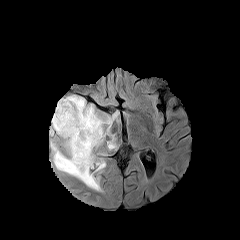
FLAIR MR image.
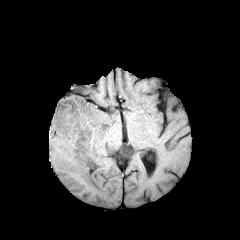
T1-weighted MRI of the same slice.
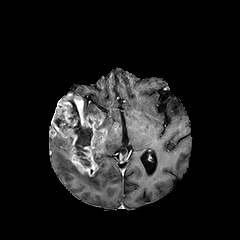
Post-contrast T1-weighted MR.
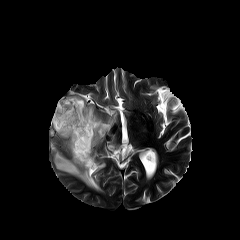
T2-weighted MR image.
Axial plane
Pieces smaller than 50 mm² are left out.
peritumoral edema: x1=82 y1=97 x2=101 y2=118, x1=97 y1=113 x2=117 y2=150, x1=94 y1=152 x2=105 y2=170, x1=50 y1=141 x2=102 y2=191 | necrotic tumor core: x1=54 y1=99 x2=92 y2=166 | enhancing tumor: x1=49 y1=94 x2=107 y2=176